Image size 240x240 | Axial slice
FLAIR MR image.
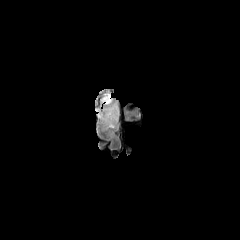
T1-weighted MR.
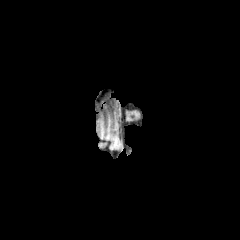
Post-contrast T1-weighted MRI.
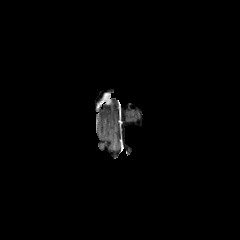
T2-weighted MR.
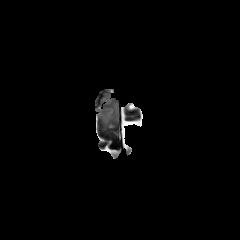
Segmented structures:
* enhancing tumor: rect(100, 93, 111, 104)
* peritumoral edema: rect(95, 98, 118, 130)